Image width 240 mm, 1.00 mm slice spacing | Image size 240x240 | Axial view | Head | Slice index 89
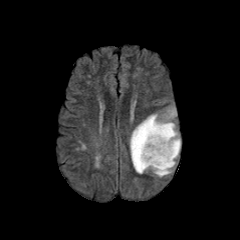
FLAIR magnetic resonance.
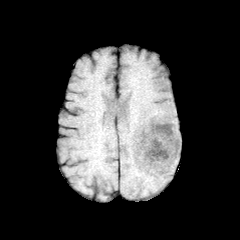
T1-weighted MR of the same slice.
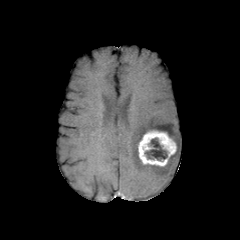
Post-contrast T1-weighted MR image.
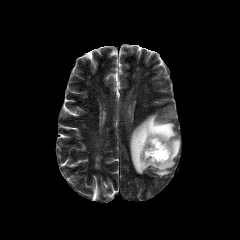
T2-weighted MRI.
The enhancing tumor is located at (x1=138, y1=129, x2=177, y2=166). The peritumoral edema is located at (x1=129, y1=108, x2=180, y2=177). The necrotic tumor core appears at (x1=145, y1=138, x2=167, y2=160).